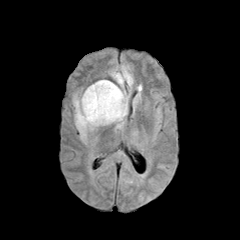
FLAIR magnetic resonance.
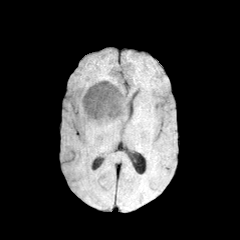
T1-weighted MRI of the same slice.
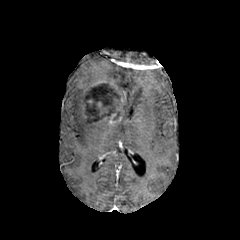
Same slice, post-contrast T1-weighted MR.
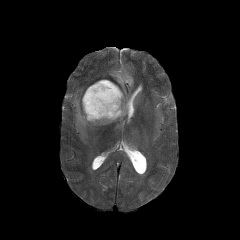
T2-weighted magnetic resonance.
Head
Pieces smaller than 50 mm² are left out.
necrotic tumor core: bounding box bbox=[84, 83, 121, 123]
peritumoral edema: bounding box bbox=[109, 65, 133, 128]; bbox=[73, 95, 110, 140]
enhancing tumor: bounding box bbox=[79, 80, 125, 125]